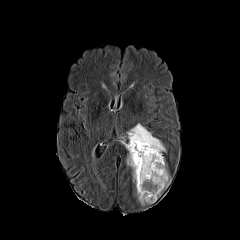
FLAIR MR.
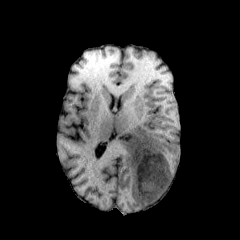
T1-weighted MR.
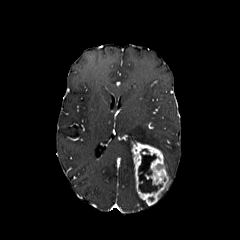
Post-contrast T1-weighted MR.
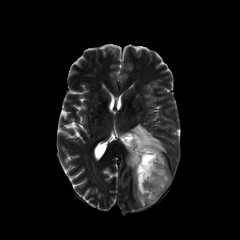
T2-weighted MRI.
Head | Axial slice
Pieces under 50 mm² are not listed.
The 2 largest peritumoral edema regions appear at box(126, 149, 134, 182); box(128, 123, 165, 152). The enhancing tumor is bounded by box(131, 141, 170, 205). The largest necrotic tumor core region lies within box(138, 149, 162, 192).